FLAIR MR.
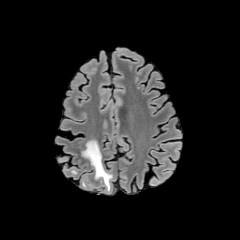
T1-weighted MRI.
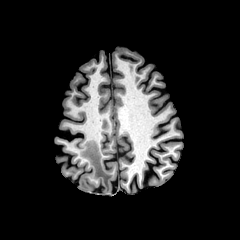
Post-contrast T1-weighted MR image.
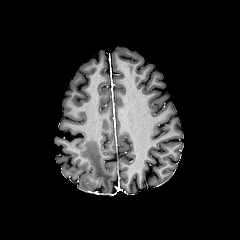
T2-weighted magnetic resonance.
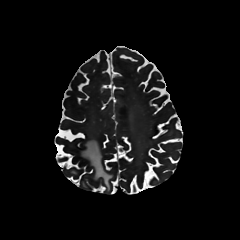
Image size 240x240; Axial slice; Head
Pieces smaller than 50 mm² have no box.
The largest peritumoral edema region appears at left=81, top=140, right=112, bottom=190.